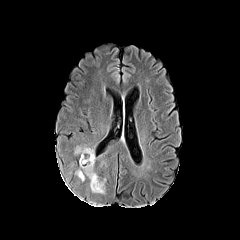
FLAIR MR image.
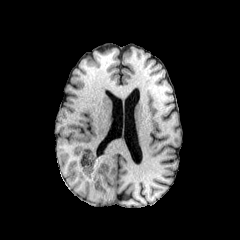
T1-weighted MR image of the same slice.
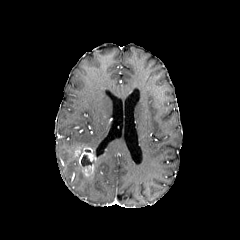
Post-contrast T1-weighted MRI.
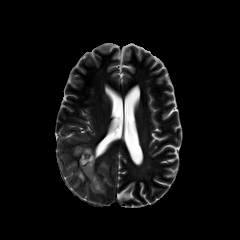
T2-weighted magnetic resonance.
Brain | Axial plane | 240x240 px
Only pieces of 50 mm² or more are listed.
Findings:
* enhancing tumor: [75, 146, 95, 166], [82, 164, 93, 176]
* necrotic tumor core: [81, 155, 92, 166]
* peritumoral edema: [89, 173, 104, 193], [77, 170, 84, 181]